FLAIR magnetic resonance.
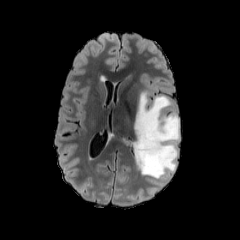
T1-weighted MR image.
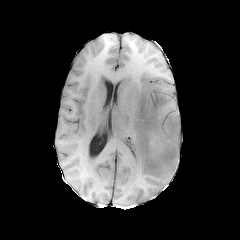
Post-contrast T1-weighted magnetic resonance.
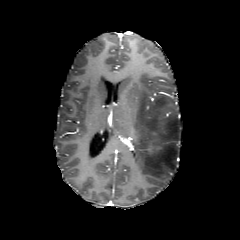
T2-weighted MR image.
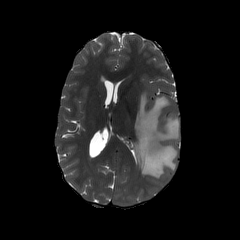
peritumoral edema at <bbox>134, 91, 179, 179</bbox>
enhancing tumor at <bbox>148, 133, 161, 152</bbox>